Slice 93/155.
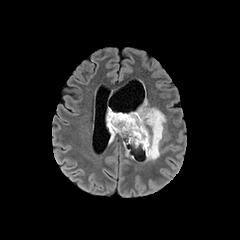
FLAIR MR.
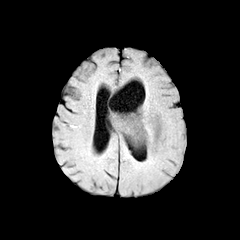
T1-weighted MR image.
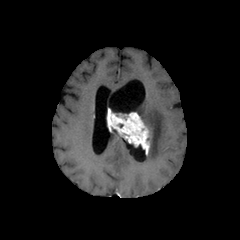
Same slice, post-contrast T1-weighted MR image.
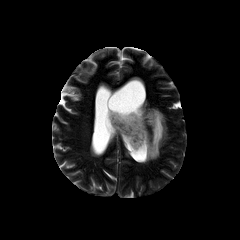
T2-weighted MR of the same slice.
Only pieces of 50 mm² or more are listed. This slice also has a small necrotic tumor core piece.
The largest peritumoral edema region appears at x1=135 y1=99 x2=165 y2=160. The enhancing tumor is at x1=106 y1=108 x2=150 y2=155.